Head
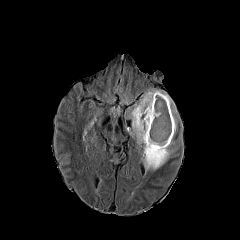
FLAIR MR.
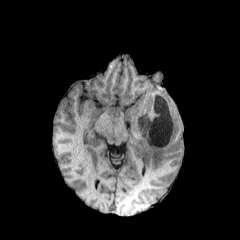
T1-weighted MR of the same slice.
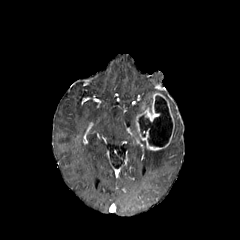
Post-contrast T1-weighted MR of the same slice.
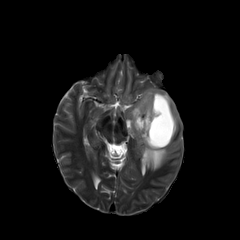
T2-weighted MRI.
<segmentation>
  <peritumoral_edema>129:89:177:170</peritumoral_edema>
  <enhancing_tumor>135:93:174:150</enhancing_tumor>
  <necrotic_tumor_core>138:96:172:146</necrotic_tumor_core>
</segmentation>